FLAIR MRI.
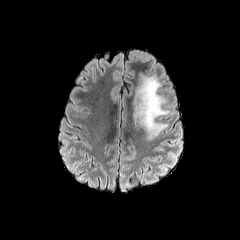
T1-weighted MR.
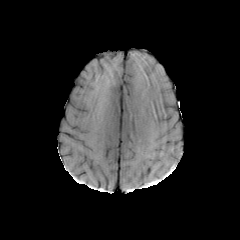
Post-contrast T1-weighted MR.
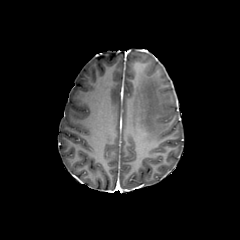
T2-weighted MR.
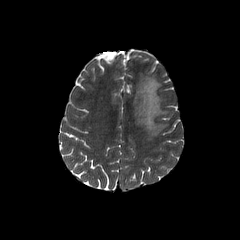
Head | Axial view | Image size 240x240
peritumoral_edema:
  - [134, 71, 168, 140]